FLAIR MR image.
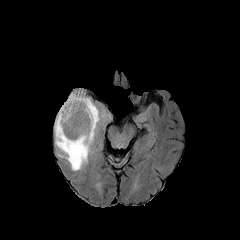
T1-weighted MRI.
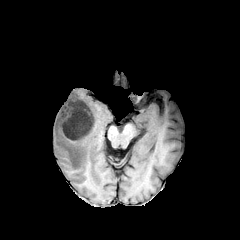
Post-contrast T1-weighted MR image.
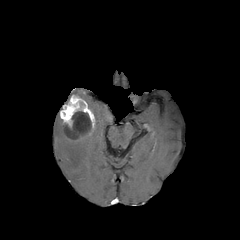
T2-weighted MRI.
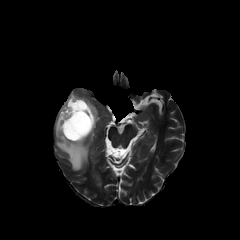
Head
The necrotic tumor core is at (64, 100, 91, 139). The enhancing tumor is at (60, 94, 95, 141). The peritumoral edema appears at (54, 91, 104, 170).